FLAIR MR image.
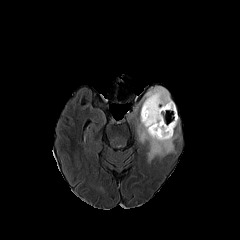
T1-weighted MR image.
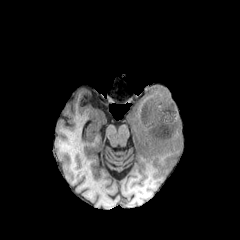
Post-contrast T1-weighted MR.
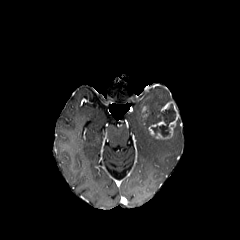
T2-weighted MRI.
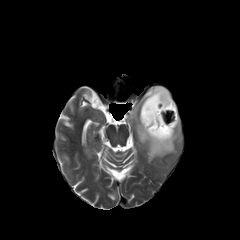
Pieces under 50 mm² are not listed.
The largest necrotic tumor core region lies within (left=151, top=104, right=175, bottom=136). The largest peritumoral edema region appears at (left=136, top=86, right=177, bottom=162). The largest enhancing tumor region appears at (left=148, top=101, right=178, bottom=139).